Head. 240x240 px. Axial plane.
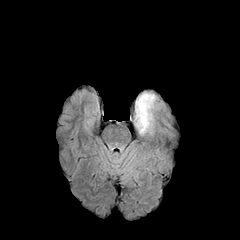
FLAIR MR.
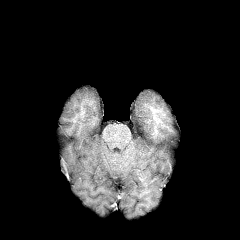
T1-weighted MR image of the same slice.
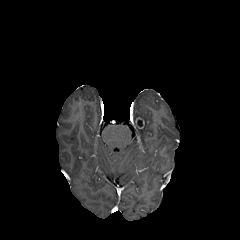
Same slice, post-contrast T1-weighted magnetic resonance.
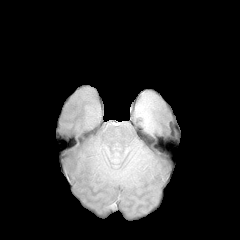
Same slice, T2-weighted MRI.
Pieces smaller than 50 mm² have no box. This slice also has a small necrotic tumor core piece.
<segmentation>
  <enhancing_tumor>bbox=[135, 117, 144, 128]</enhancing_tumor>
  <peritumoral_edema>bbox=[135, 92, 157, 134]</peritumoral_edema>
</segmentation>